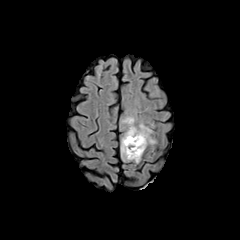
FLAIR magnetic resonance.
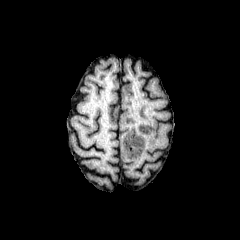
Same slice, T1-weighted magnetic resonance.
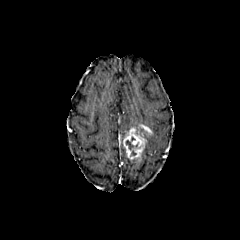
Post-contrast T1-weighted magnetic resonance.
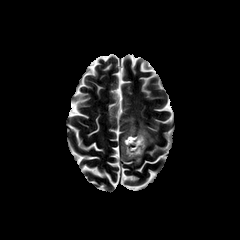
T2-weighted MR.
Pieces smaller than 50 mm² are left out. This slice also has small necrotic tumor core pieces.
The 3 largest peritumoral edema regions are located at box(122, 116, 137, 131); box(145, 136, 155, 148); box(121, 133, 129, 160). The enhancing tumor appears at box(122, 124, 152, 161).